Image width 240 mm, Axial view, Head
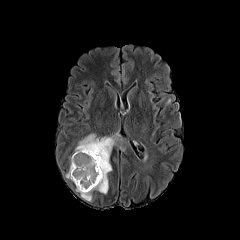
FLAIR MR.
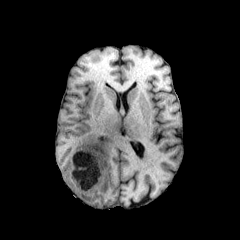
T1-weighted MR.
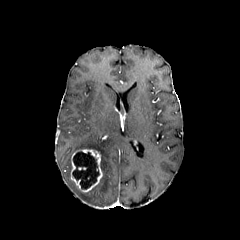
Post-contrast T1-weighted MR image.
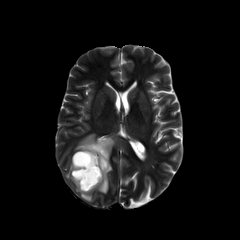
T2-weighted MRI.
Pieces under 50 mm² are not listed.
Segmented structures:
* necrotic tumor core: l=72, t=151, r=99, b=189
* peritumoral edema: l=74, t=133, r=124, b=201; l=65, t=157, r=71, b=179
* enhancing tumor: l=71, t=149, r=102, b=192